Axial slice, Image width 240 mm, 1.00 mm slice spacing, Slice 128/155, Head
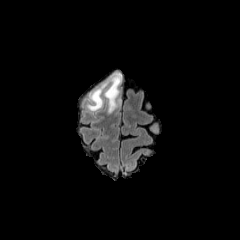
FLAIR MR image.
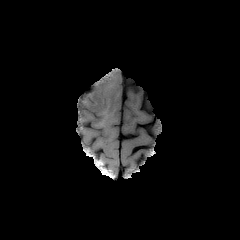
T1-weighted magnetic resonance.
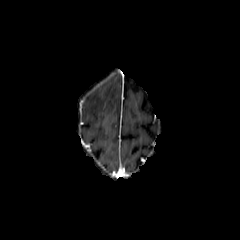
Post-contrast T1-weighted magnetic resonance of the same slice.
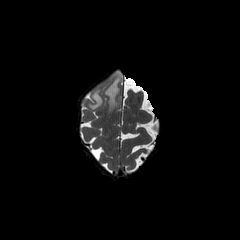
T2-weighted MRI.
Findings:
- peritumoral edema: x1=88 y1=73 x2=121 y2=113